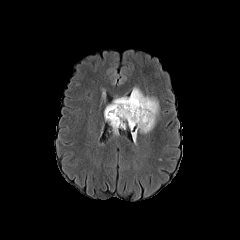
FLAIR MRI.
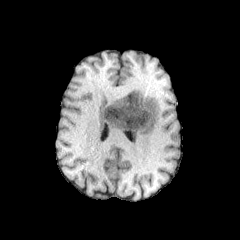
T1-weighted magnetic resonance.
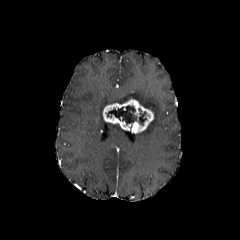
Post-contrast T1-weighted MR image.
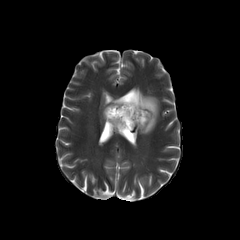
Same slice, T2-weighted MR image.
Head
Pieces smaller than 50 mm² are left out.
The enhancing tumor is located at (103,98,154,133). The 2 largest peritumoral edema regions are bounded by (112,88,158,133), (110,123,120,133). 2 necrotic tumor core regions are located at (138,108,146,125), (107,105,137,124).